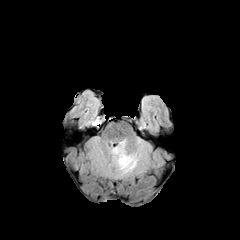
FLAIR MR image.
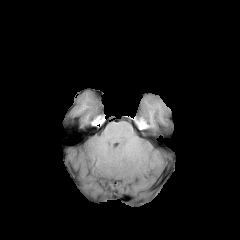
T1-weighted MRI.
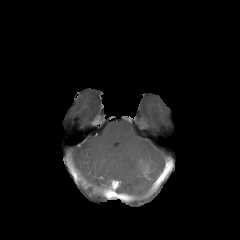
Post-contrast T1-weighted MR image.
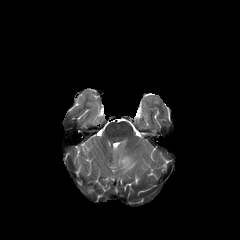
Same slice, T2-weighted MR.
<segmentation>
  <enhancing_tumor>left=140, top=160, right=149, bottom=173</enhancing_tumor>
  <peritumoral_edema>left=110, top=139, right=149, bottom=177</peritumoral_edema>
</segmentation>